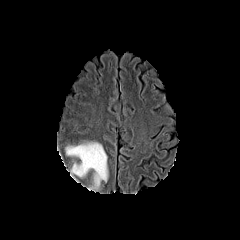
FLAIR magnetic resonance.
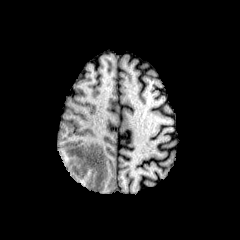
T1-weighted magnetic resonance.
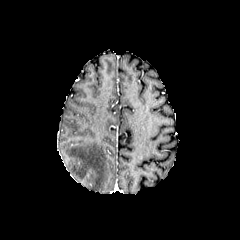
Post-contrast T1-weighted MR of the same slice.
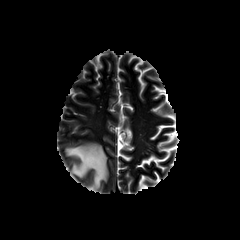
T2-weighted MRI.
Brain, 240x240 px
peritumoral_edema:
  - bbox=[65, 142, 108, 190]